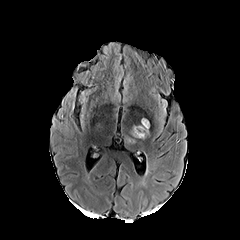
FLAIR MRI.
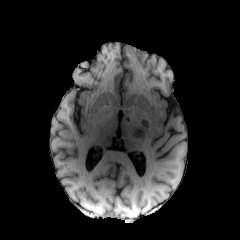
Same slice, T1-weighted MRI.
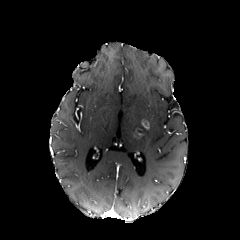
Same slice, post-contrast T1-weighted MR.
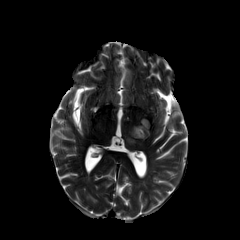
T2-weighted MR image.
Brain | 240x240 px | Axial slice
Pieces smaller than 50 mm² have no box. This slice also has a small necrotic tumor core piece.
<segmentation>
  <peritumoral_edema>[x1=129, y1=124, x2=149, y2=138]</peritumoral_edema>
  <enhancing_tumor>[x1=142, y1=120, x2=149, y2=129]</enhancing_tumor>
</segmentation>